Image covers 240 mm x 240 mm | Axial slice | Slice index 38
FLAIR magnetic resonance.
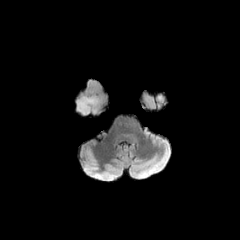
T1-weighted MR image.
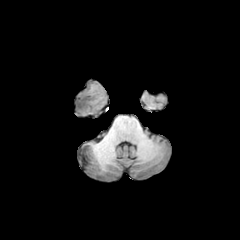
Post-contrast T1-weighted MR.
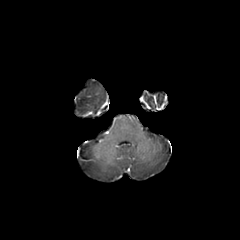
T2-weighted MRI.
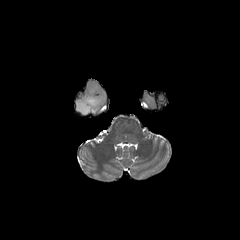
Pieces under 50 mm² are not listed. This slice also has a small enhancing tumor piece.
The peritumoral edema is bounded by 77,96,101,114.